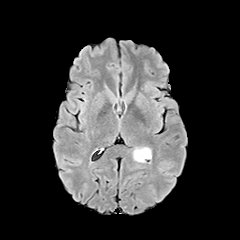
FLAIR magnetic resonance.
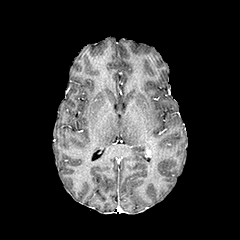
T1-weighted magnetic resonance.
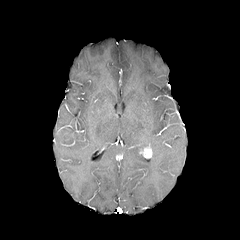
Post-contrast T1-weighted MR of the same slice.
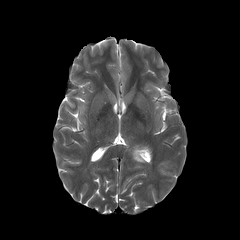
Same slice, T2-weighted magnetic resonance.
Findings:
* enhancing tumor: region(139, 147, 151, 158)
* peritumoral edema: region(132, 147, 145, 162)